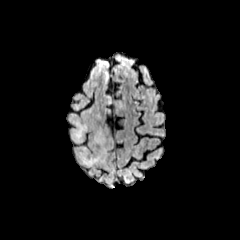
FLAIR magnetic resonance.
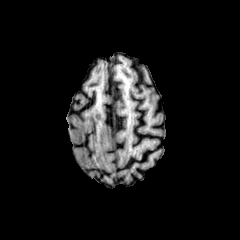
Same slice, T1-weighted magnetic resonance.
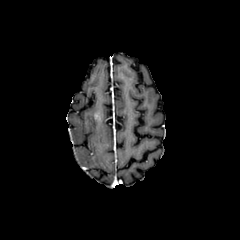
Post-contrast T1-weighted MR image of the same slice.
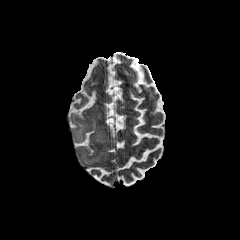
T2-weighted MR image.
Brain | Axial view
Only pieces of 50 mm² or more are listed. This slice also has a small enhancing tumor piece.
{"peritumoral_edema": ["box=[95, 131, 103, 142]", "box=[70, 118, 87, 142]", "box=[78, 152, 103, 165]"]}